FLAIR MR image.
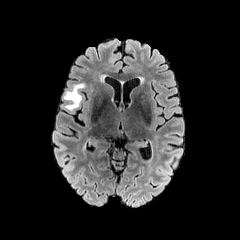
T1-weighted MRI.
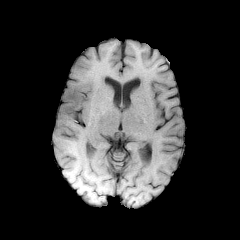
Post-contrast T1-weighted MRI.
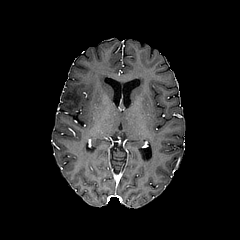
T2-weighted MR.
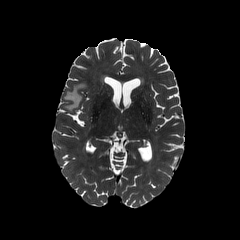
Brain
peritumoral edema: bbox=[63, 83, 86, 111]